Slice index 91. Head.
FLAIR MR image.
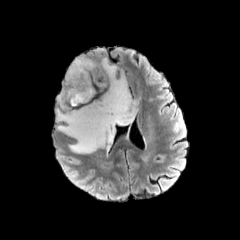
T1-weighted magnetic resonance.
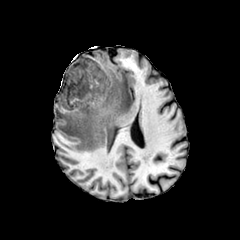
Post-contrast T1-weighted MRI.
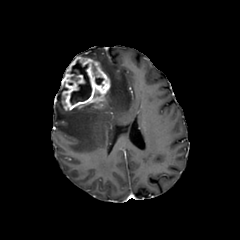
T2-weighted magnetic resonance.
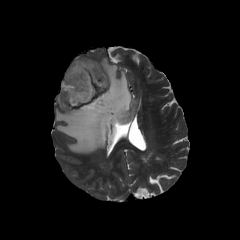
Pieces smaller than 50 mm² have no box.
{"enhancing_tumor": ["<box>61,56,110,110</box>"], "necrotic_tumor_core": ["<box>70,60,91,104</box>"], "peritumoral_edema": ["<box>56,58,137,153</box>"]}